FLAIR MR.
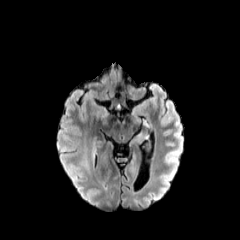
T1-weighted MR image.
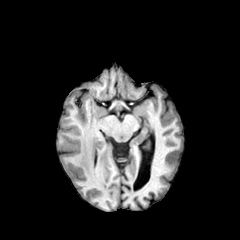
Post-contrast T1-weighted MRI.
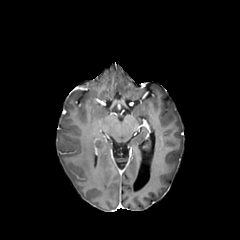
T2-weighted MR.
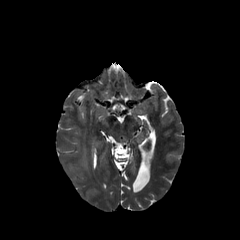
Brain
The peritumoral edema is bounded by 82, 158, 88, 169.